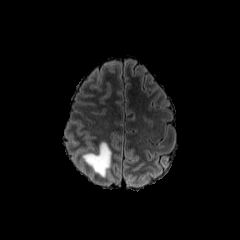
FLAIR magnetic resonance.
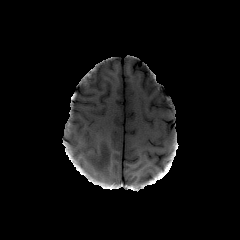
T1-weighted MR image.
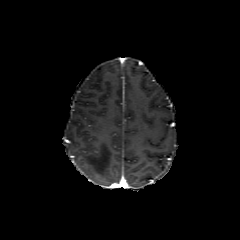
Same slice, post-contrast T1-weighted MR.
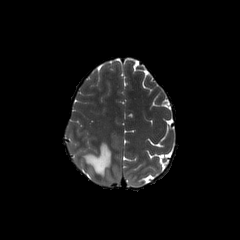
T2-weighted MR.
Axial view.
The peritumoral edema is bounded by region(82, 142, 111, 176).